FLAIR MR image.
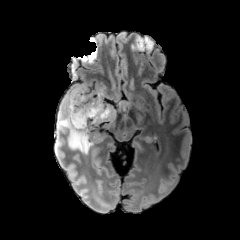
T1-weighted MR image.
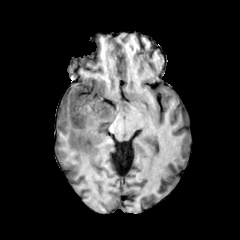
Post-contrast T1-weighted magnetic resonance.
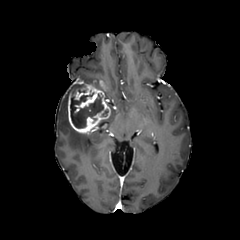
T2-weighted MR image.
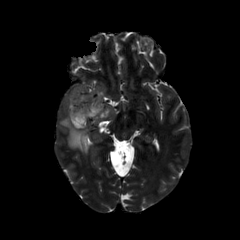
Image size 240x240
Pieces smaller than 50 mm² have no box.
peritumoral edema = 57 84 91 153
necrotic tumor core = 70 93 103 128
enhancing tumor = 67 80 110 134